Slice 61/155. Axial slice. Head.
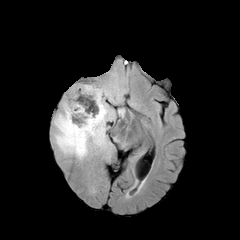
FLAIR MR.
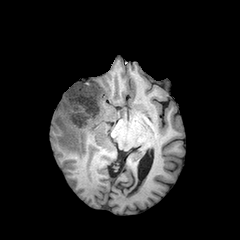
T1-weighted MRI of the same slice.
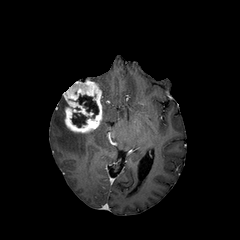
Post-contrast T1-weighted MRI.
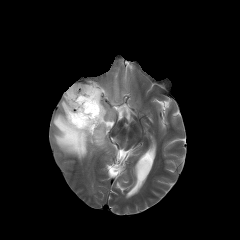
T2-weighted magnetic resonance.
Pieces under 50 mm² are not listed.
enhancing tumor = {"x1": 63, "y1": 81, "x2": 102, "y2": 133}
peritumoral edema = {"x1": 53, "y1": 84, "x2": 114, "y2": 159}
necrotic tumor core = {"x1": 76, "y1": 95, "x2": 98, "y2": 118}, {"x1": 71, "y1": 113, "x2": 88, "y2": 127}